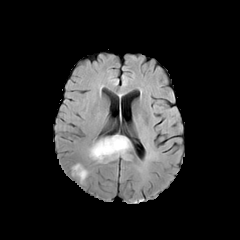
FLAIR MR image.
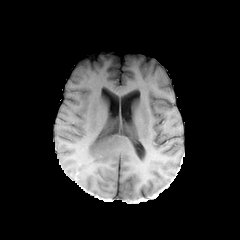
T1-weighted magnetic resonance of the same slice.
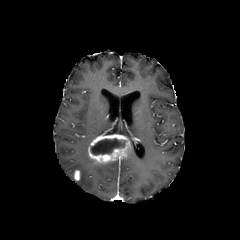
Post-contrast T1-weighted MRI.
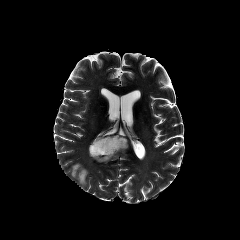
T2-weighted MR of the same slice.
240x240
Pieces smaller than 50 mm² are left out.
necrotic tumor core: box(91, 138, 125, 155) | enhancing tumor: box(88, 134, 130, 163); box(74, 170, 79, 180) | peritumoral edema: box(72, 164, 87, 183)